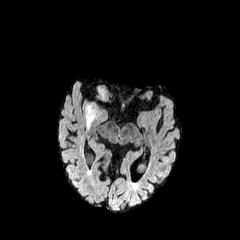
FLAIR MR image.
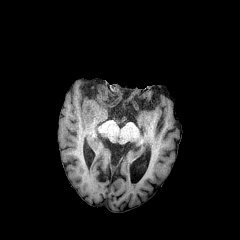
T1-weighted MRI.
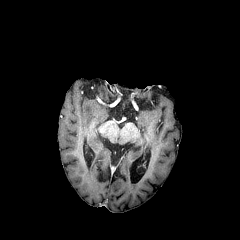
Post-contrast T1-weighted MR image.
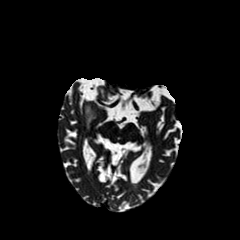
T2-weighted MRI of the same slice.
Brain
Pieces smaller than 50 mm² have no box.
peritumoral edema: bounding box left=86, top=106, right=94, bottom=127